FLAIR MR image.
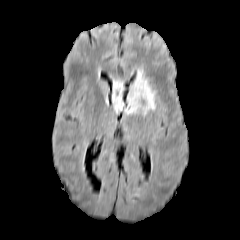
T1-weighted MRI.
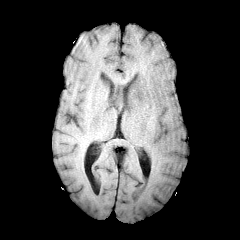
Post-contrast T1-weighted magnetic resonance.
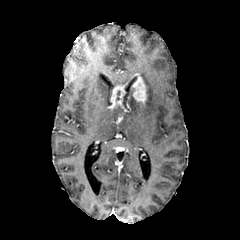
T2-weighted MR.
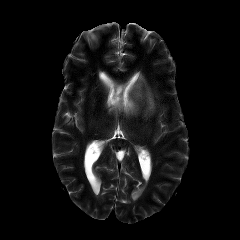
240x240 px.
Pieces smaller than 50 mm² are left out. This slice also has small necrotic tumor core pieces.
{
  "enhancing_tumor": [
    "(left=111, top=85, right=130, bottom=111)",
    "(left=131, top=74, right=146, bottom=103)"
  ],
  "peritumoral_edema": [
    "(left=124, top=70, right=155, bottom=115)"
  ]
}